Slice 82 of 155; Brain
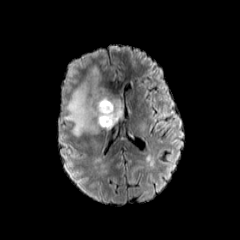
FLAIR MR.
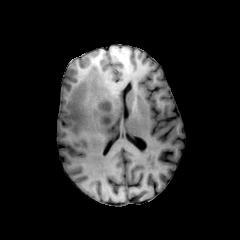
Same slice, T1-weighted magnetic resonance.
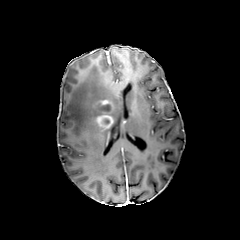
Post-contrast T1-weighted MR of the same slice.
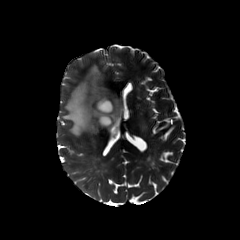
T2-weighted magnetic resonance of the same slice.
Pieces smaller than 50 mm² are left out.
<segmentation>
  <enhancing_tumor>[92, 99, 114, 129]</enhancing_tumor>
  <necrotic_tumor_core>[100, 105, 110, 111]</necrotic_tumor_core>
  <peritumoral_edema>[64, 66, 122, 135]</peritumoral_edema>
</segmentation>